FLAIR MR image.
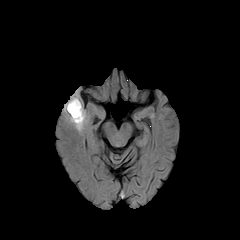
T1-weighted MRI.
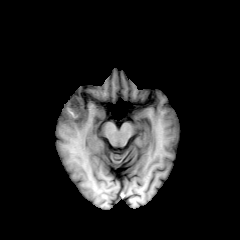
Post-contrast T1-weighted MR.
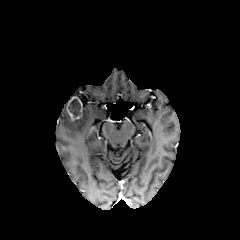
T2-weighted MR image.
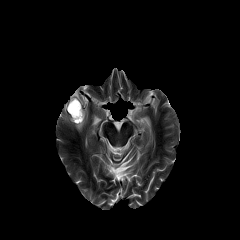
Brain; 240x240 px
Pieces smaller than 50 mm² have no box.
The enhancing tumor is at (66,96,82,120). The largest peritumoral edema region is located at (63,102,87,131). The necrotic tumor core appears at (68,99,80,117).